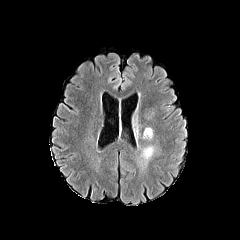
FLAIR magnetic resonance.
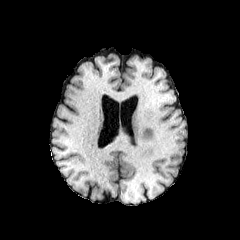
T1-weighted magnetic resonance.
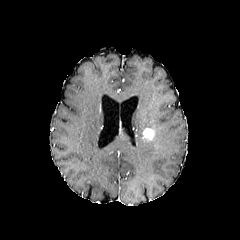
Post-contrast T1-weighted MR image of the same slice.
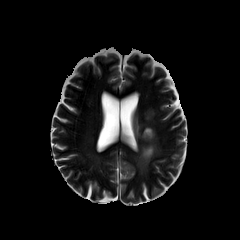
Same slice, T2-weighted MR image.
Head.
3 peritumoral edema regions are bounded by rect(133, 114, 139, 141); rect(145, 110, 154, 119); rect(137, 145, 161, 170). The enhancing tumor is at rect(142, 128, 154, 140).